Axial plane; Slice index 122
FLAIR MR.
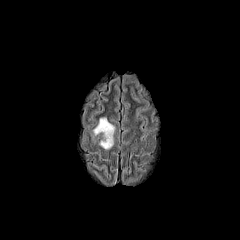
T1-weighted MR.
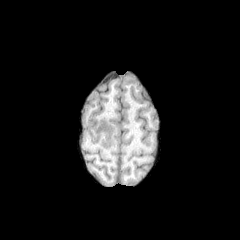
Post-contrast T1-weighted MRI.
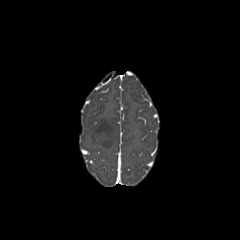
T2-weighted MRI.
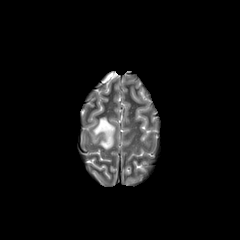
Segmented structures:
* peritumoral edema: <box>93,117,114,149</box>